240x240. Axial plane.
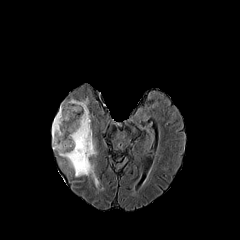
FLAIR MRI.
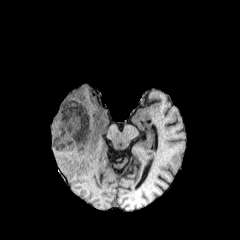
T1-weighted MRI of the same slice.
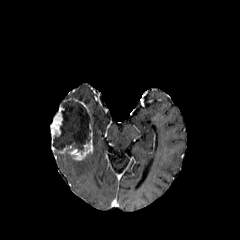
Same slice, post-contrast T1-weighted magnetic resonance.
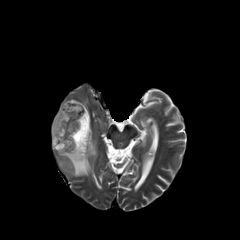
T2-weighted MR image.
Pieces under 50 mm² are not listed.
{
  "peritumoral_edema": [
    "[x1=59, y1=141, x2=98, y2=185]"
  ],
  "necrotic_tumor_core": [
    "[x1=53, y1=98, x2=91, y2=151]"
  ],
  "enhancing_tumor": [
    "[x1=56, y1=124, x2=93, y2=160]",
    "[x1=50, y1=104, x2=64, y2=145]"
  ]
}